Head. 240x240 px.
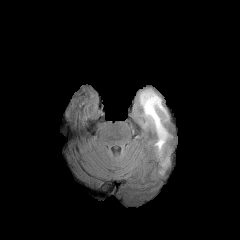
FLAIR magnetic resonance.
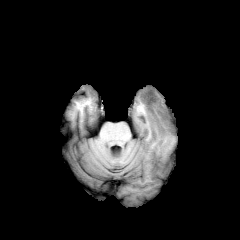
Same slice, T1-weighted MR.
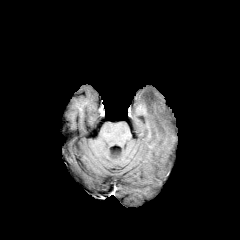
Post-contrast T1-weighted MRI.
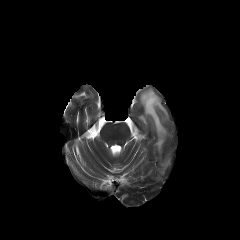
T2-weighted magnetic resonance.
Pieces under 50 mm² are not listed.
The largest peritumoral edema region appears at x1=139 y1=88 x2=169 y2=155.